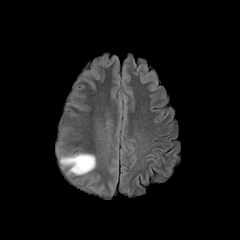
FLAIR MR image.
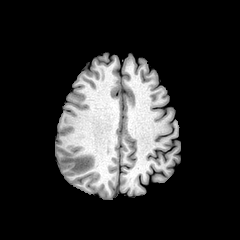
T1-weighted magnetic resonance.
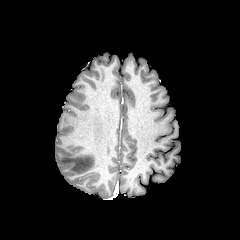
Post-contrast T1-weighted MRI of the same slice.
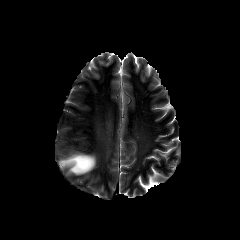
T2-weighted MR.
Axial slice
peritumoral edema at 60, 154, 95, 174